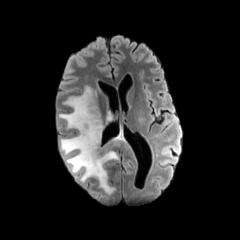
FLAIR MR image.
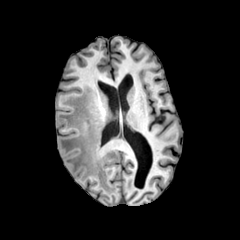
T1-weighted MRI.
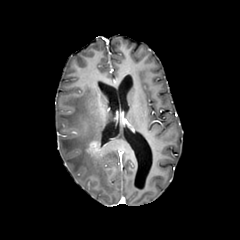
Post-contrast T1-weighted MRI of the same slice.
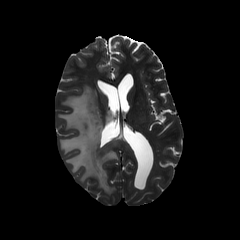
T2-weighted MRI of the same slice.
Head
The enhancing tumor is located at 87, 141, 98, 154. The peritumoral edema appears at 58, 86, 129, 194.